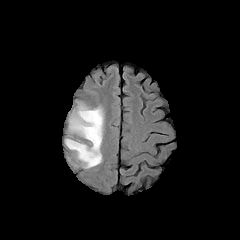
FLAIR MR.
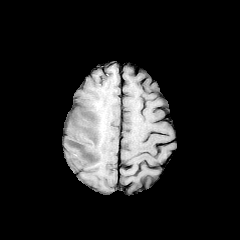
T1-weighted magnetic resonance.
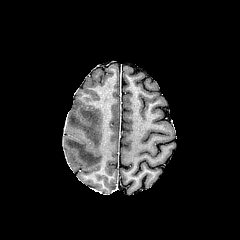
Post-contrast T1-weighted MR image of the same slice.
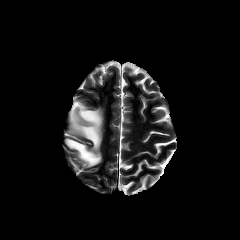
T2-weighted MRI.
The peritumoral edema is at box(65, 101, 103, 168).